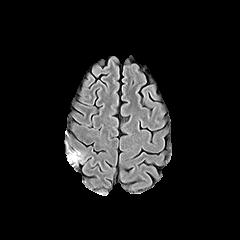
FLAIR magnetic resonance.
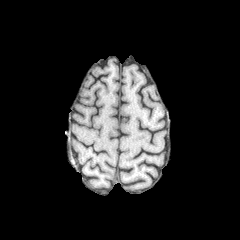
T1-weighted MR of the same slice.
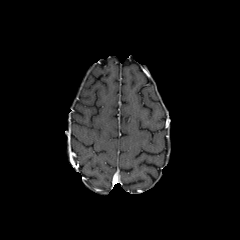
Same slice, post-contrast T1-weighted MR image.
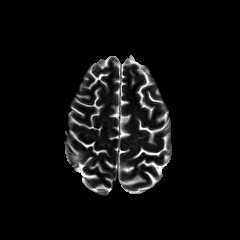
Same slice, T2-weighted MR.
The peritumoral edema is located at bbox=[71, 151, 81, 161].